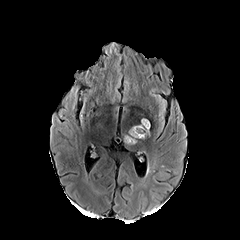
FLAIR magnetic resonance.
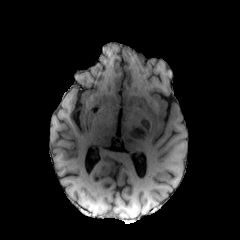
Same slice, T1-weighted MRI.
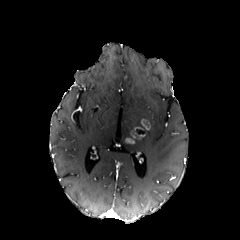
Post-contrast T1-weighted magnetic resonance.
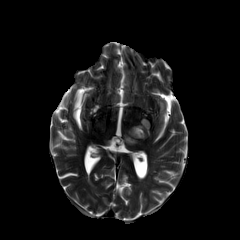
T2-weighted MR image of the same slice.
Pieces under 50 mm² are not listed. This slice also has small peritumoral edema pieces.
The largest necrotic tumor core region is bounded by region(135, 129, 145, 134). The 2 largest enhancing tumor regions are bounded by region(141, 119, 149, 130); region(131, 127, 145, 138).